FLAIR magnetic resonance.
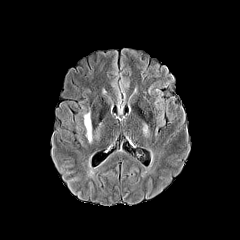
T1-weighted magnetic resonance.
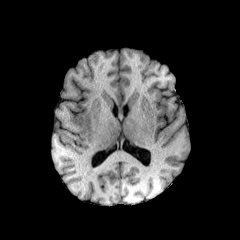
Post-contrast T1-weighted MR image.
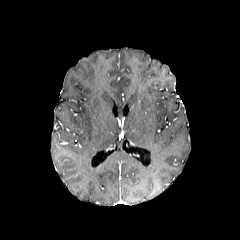
T2-weighted MRI.
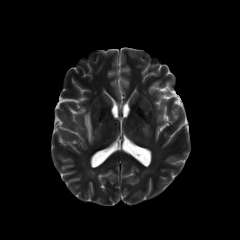
240x240 px
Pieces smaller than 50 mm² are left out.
peritumoral_edema:
  - <box>84,112,92,142</box>